Slice 105 of 155 | Head | 240x240 px | Axial slice
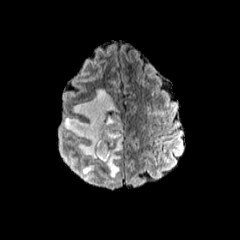
FLAIR MRI.
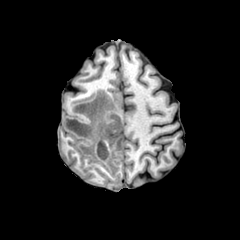
T1-weighted magnetic resonance.
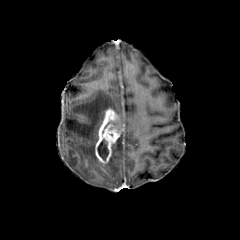
Post-contrast T1-weighted MR.
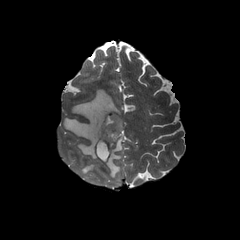
Same slice, T2-weighted magnetic resonance.
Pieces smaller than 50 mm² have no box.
<segmentation>
  <enhancing_tumor>{"x1": 95, "y1": 108, "x2": 123, "y2": 163}</enhancing_tumor>
  <necrotic_tumor_core>{"x1": 101, "y1": 116, "x2": 122, "y2": 137}, {"x1": 97, "y1": 138, "x2": 108, "y2": 160}</necrotic_tumor_core>
  <peritumoral_edema>{"x1": 102, "y1": 133, "x2": 122, "y2": 177}, {"x1": 63, "y1": 89, "x2": 119, "y2": 179}</peritumoral_edema>
</segmentation>